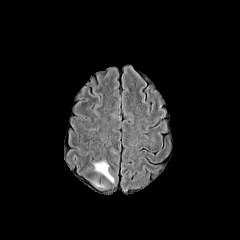
FLAIR MR.
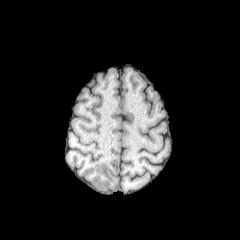
T1-weighted MR image of the same slice.
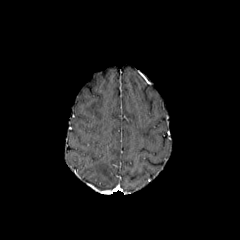
Same slice, post-contrast T1-weighted MR.
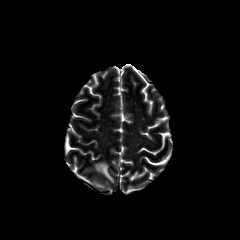
T2-weighted MR image.
Axial plane | Brain
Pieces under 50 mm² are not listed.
{
  "peritumoral_edema": [
    "94,161,114,183"
  ]
}